FLAIR MR image.
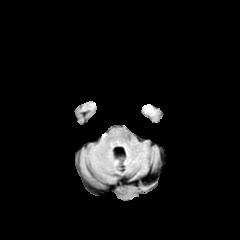
T1-weighted MR image.
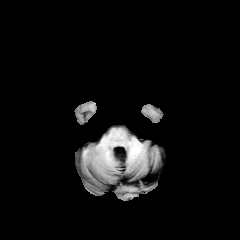
Post-contrast T1-weighted MR.
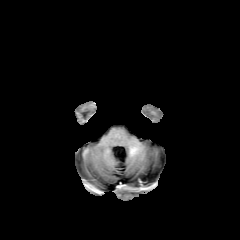
T2-weighted magnetic resonance.
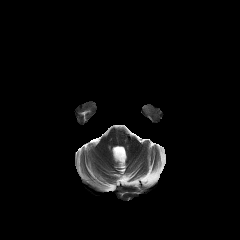
Axial view.
peritumoral edema at <bbox>143, 105, 151, 112</bbox>